240x240 px
FLAIR magnetic resonance.
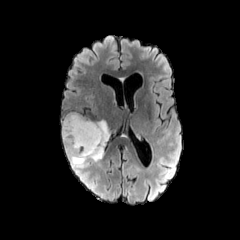
T1-weighted MRI.
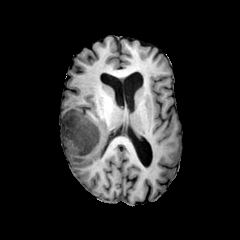
Post-contrast T1-weighted MRI.
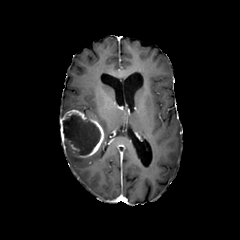
T2-weighted MR.
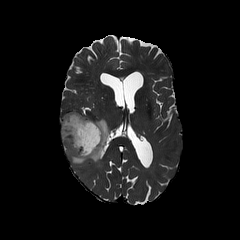
enhancing tumor: [x1=60, y1=109, x2=104, y2=157] | peritumoral edema: [x1=65, y1=119, x2=111, y2=168] | necrotic tumor core: [x1=63, y1=113, x2=100, y2=155]